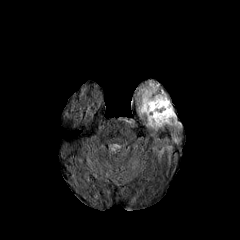
FLAIR MR image.
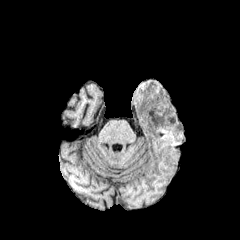
T1-weighted MRI.
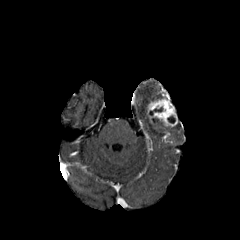
Post-contrast T1-weighted magnetic resonance.
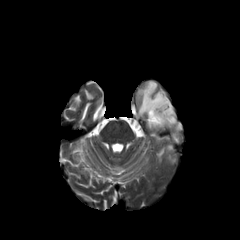
T2-weighted magnetic resonance.
240x240; Brain
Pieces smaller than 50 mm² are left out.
The enhancing tumor is at (147, 98, 177, 126). The 2 largest necrotic tumor core regions are bounded by (149, 107, 163, 115), (167, 115, 175, 123). The 3 largest peritumoral edema regions are located at (171, 133, 180, 143), (146, 116, 163, 130), (138, 81, 165, 116).